FLAIR MR.
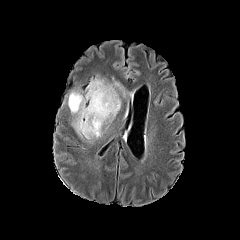
T1-weighted MR.
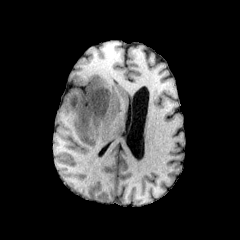
Post-contrast T1-weighted MRI.
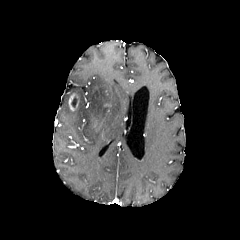
T2-weighted MRI.
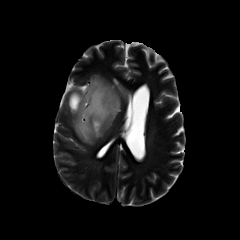
Axial plane | Brain
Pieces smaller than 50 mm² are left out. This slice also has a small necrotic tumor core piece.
peritumoral_edema:
  - region(70, 77, 125, 138)
enhancing_tumor:
  - region(68, 93, 79, 111)